240x240 px. Head. Slice 131/155. Axial view.
FLAIR MRI.
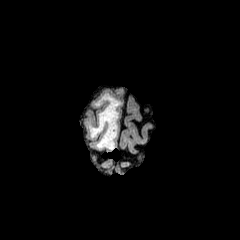
T1-weighted MR.
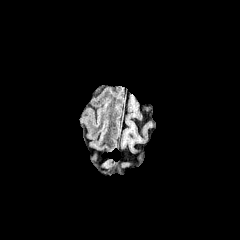
Post-contrast T1-weighted MR.
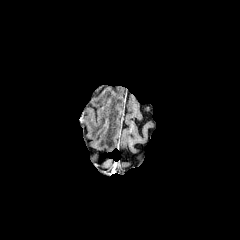
T2-weighted MR image.
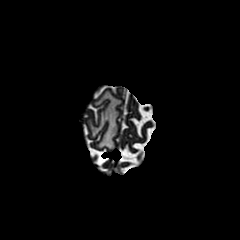
peritumoral_edema:
  - {"x1": 88, "y1": 93, "x2": 121, "y2": 149}